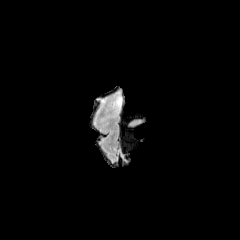
FLAIR MRI.
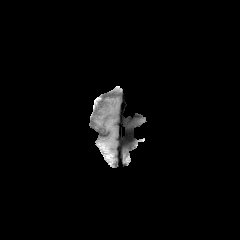
T1-weighted MRI of the same slice.
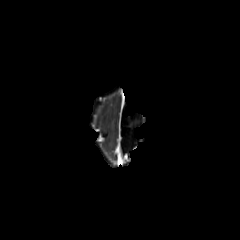
Post-contrast T1-weighted magnetic resonance.
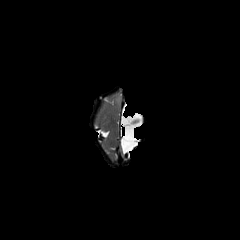
T2-weighted MR image.
peritumoral edema: region(115, 100, 122, 107)